FLAIR MR image.
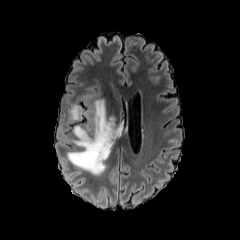
T1-weighted magnetic resonance.
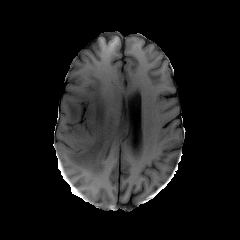
Post-contrast T1-weighted MR image.
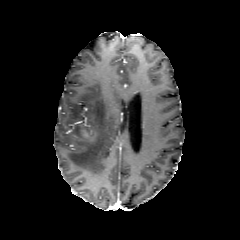
T2-weighted MRI.
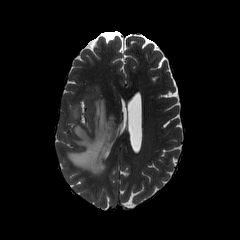
Brain
peritumoral edema: 67, 99, 124, 175; 69, 105, 81, 120 | enhancing tumor: 81, 130, 89, 138